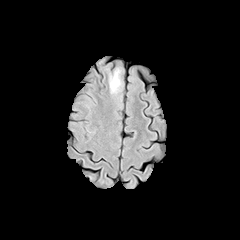
FLAIR magnetic resonance.
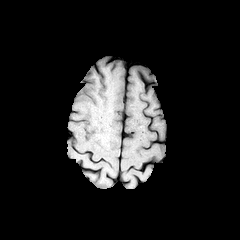
Same slice, T1-weighted MR image.
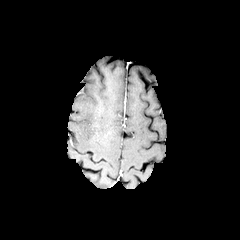
Post-contrast T1-weighted MR.
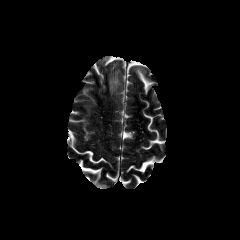
T2-weighted MRI.
peritumoral edema = l=109, t=69, r=121, b=93